FLAIR MR.
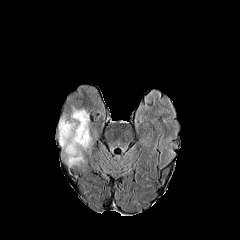
T1-weighted MRI.
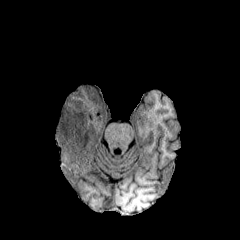
Post-contrast T1-weighted MRI.
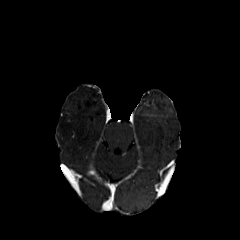
T2-weighted MR image.
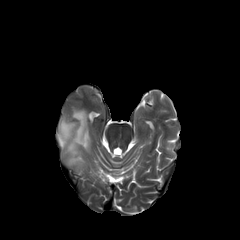
The peritumoral edema appears at (left=58, top=108, right=89, bottom=165).